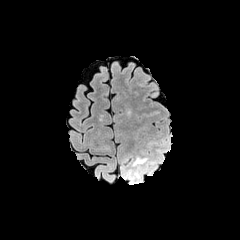
FLAIR MR image.
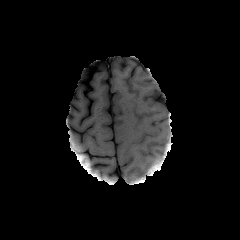
T1-weighted MR image of the same slice.
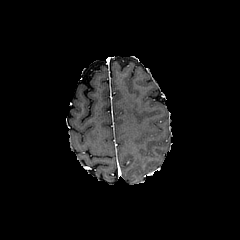
Post-contrast T1-weighted MR image.
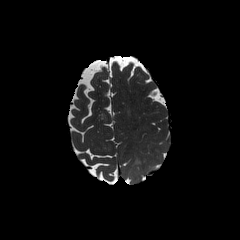
T2-weighted MR image.
Axial view. Image size 240x240.
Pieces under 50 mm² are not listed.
peritumoral_edema:
  - {"x1": 123, "y1": 156, "x2": 150, "y2": 183}